240x240
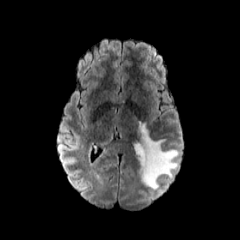
FLAIR MRI.
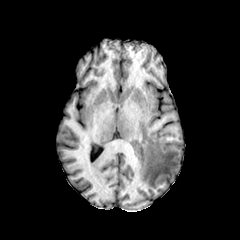
Same slice, T1-weighted MR image.
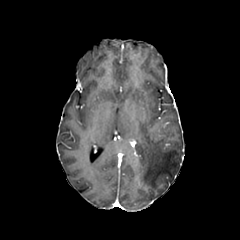
Same slice, post-contrast T1-weighted magnetic resonance.
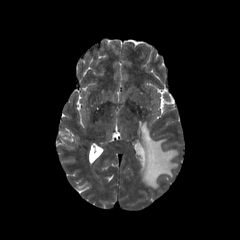
T2-weighted magnetic resonance.
Segmented structures:
• peritumoral edema: (134, 123, 178, 189)